Axial slice, Head
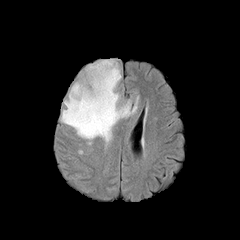
FLAIR MRI.
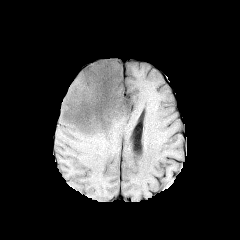
Same slice, T1-weighted magnetic resonance.
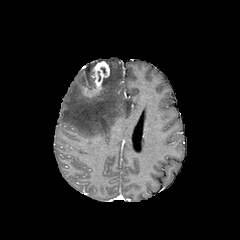
Post-contrast T1-weighted magnetic resonance of the same slice.
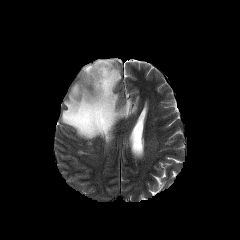
T2-weighted MR.
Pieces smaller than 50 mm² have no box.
The largest necrotic tumor core region is bounded by bbox(82, 70, 95, 89). The largest peritumoral edema region is at bbox(61, 59, 138, 147). The enhancing tumor is at bbox(82, 61, 109, 97).